FLAIR magnetic resonance.
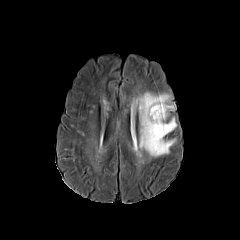
T1-weighted MR.
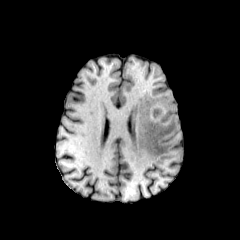
Post-contrast T1-weighted MRI.
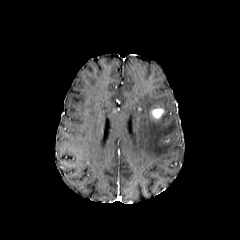
T2-weighted MRI.
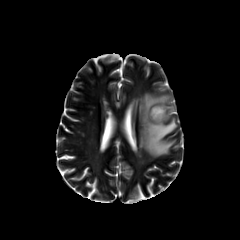
Brain. 240x240 px.
peritumoral edema: bounding box x1=137, y1=92, x2=177, y2=157
enhancing tumor: bounding box x1=150, y1=107, x2=164, y2=119